FLAIR MRI.
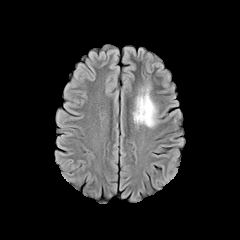
T1-weighted magnetic resonance.
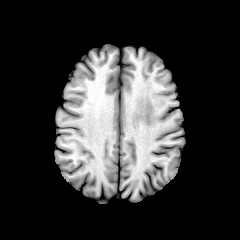
Post-contrast T1-weighted MRI.
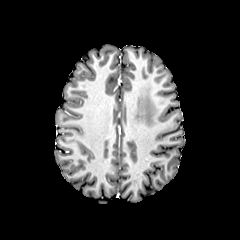
T2-weighted MR.
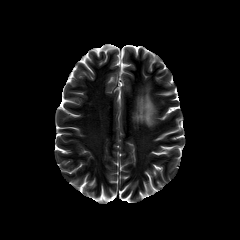
Image size 240x240 | Axial slice
The peritumoral edema is at x1=133, y1=87, x2=156, y2=127.